Brain.
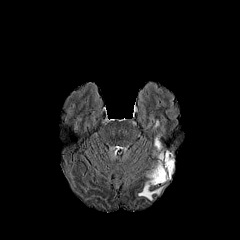
FLAIR MRI.
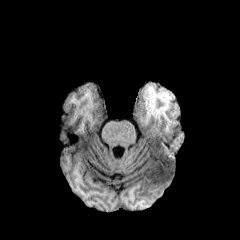
T1-weighted MR image of the same slice.
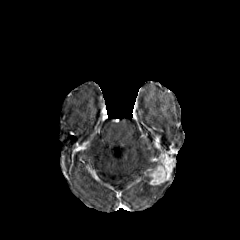
Same slice, post-contrast T1-weighted magnetic resonance.
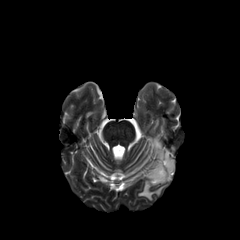
T2-weighted MRI.
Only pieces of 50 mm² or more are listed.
enhancing_tumor:
  - [147,136,174,185]
peritumoral_edema:
  - [138,181,163,200]